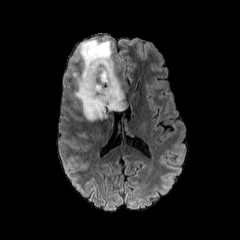
FLAIR MR.
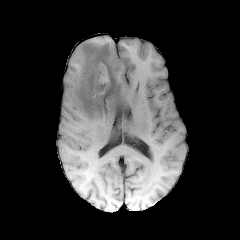
Same slice, T1-weighted MRI.
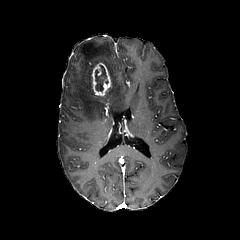
Same slice, post-contrast T1-weighted MR.
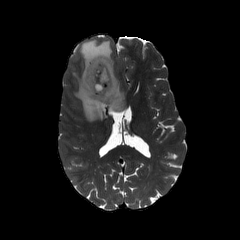
T2-weighted MRI.
Image size 240x240.
The peritumoral edema appears at bbox(73, 39, 124, 121). The enhancing tumor is at bbox(91, 62, 112, 97). The necrotic tumor core is at bbox(95, 66, 108, 91).